Brain | Axial plane
FLAIR MR.
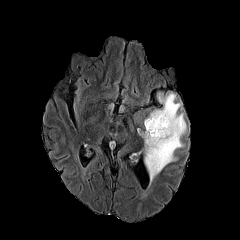
T1-weighted magnetic resonance.
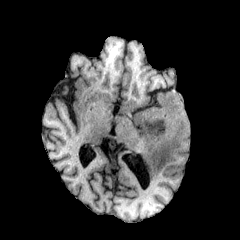
Post-contrast T1-weighted MRI.
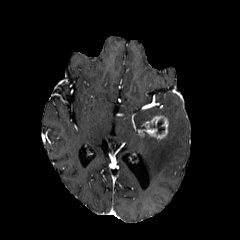
T2-weighted magnetic resonance.
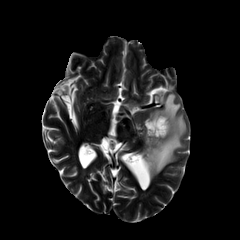
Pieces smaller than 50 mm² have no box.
Annotated regions:
* enhancing tumor: (left=144, top=115, right=168, bottom=140)
* peritumoral edema: (left=143, top=93, right=186, bottom=181)
* necrotic tumor core: (left=157, top=120, right=164, bottom=133)